Head; Axial view
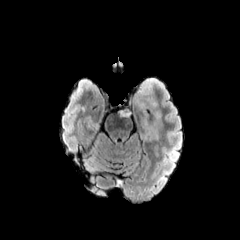
FLAIR MRI.
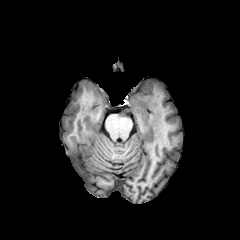
T1-weighted MR of the same slice.
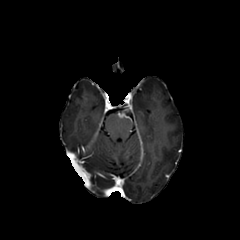
Same slice, post-contrast T1-weighted MRI.
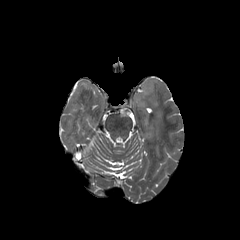
T2-weighted MRI.
{"peritumoral_edema": ["<box>135,95,165,140</box>"], "enhancing_tumor": ["<box>118,105,130,117</box>"]}